FLAIR MR.
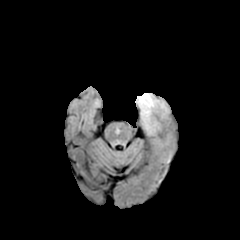
T1-weighted MRI.
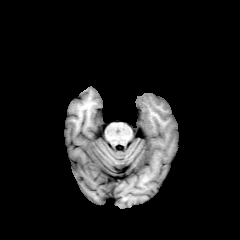
Post-contrast T1-weighted magnetic resonance.
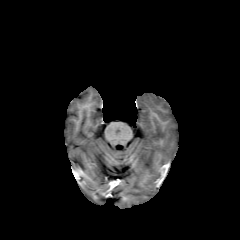
T2-weighted MRI.
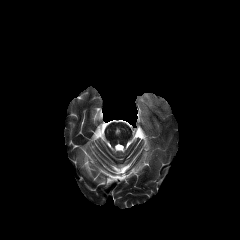
Axial slice, Brain
peritumoral edema: bounding box bbox=[137, 93, 168, 128]